FLAIR MR image.
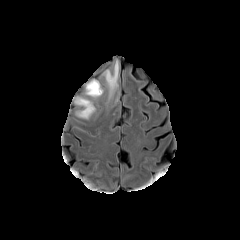
T1-weighted magnetic resonance.
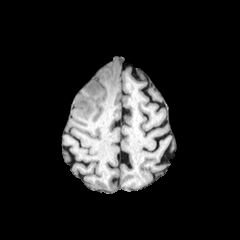
Post-contrast T1-weighted magnetic resonance.
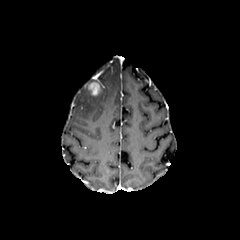
T2-weighted MRI.
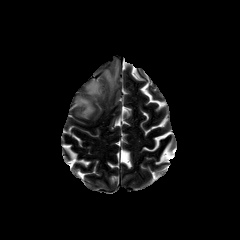
Image size 240x240. Brain.
The enhancing tumor lies within 90,83,99,94. 3 peritumoral edema regions are located at 75,97,95,119; 101,60,119,98; 85,80,103,98.